Axial slice; Head
FLAIR MR.
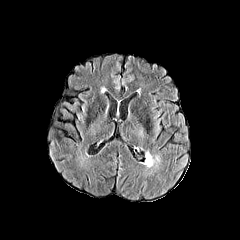
T1-weighted MR image.
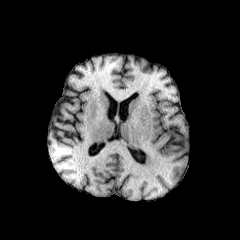
Post-contrast T1-weighted magnetic resonance.
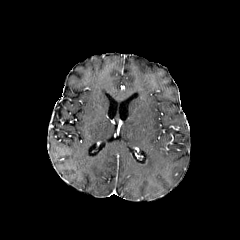
T2-weighted MRI.
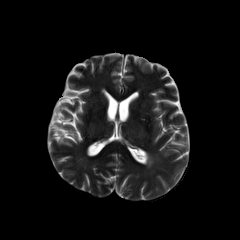
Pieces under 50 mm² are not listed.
peritumoral edema — rect(142, 150, 154, 166)